FLAIR MR image.
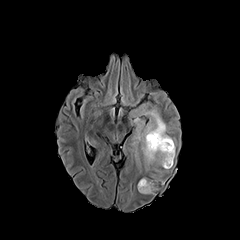
T1-weighted MRI.
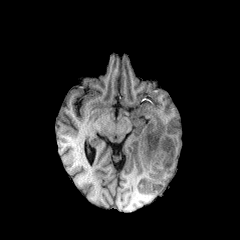
Post-contrast T1-weighted MR image.
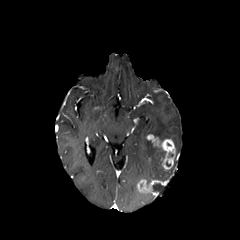
T2-weighted MR.
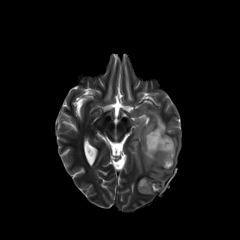
Image size 240x240; Head
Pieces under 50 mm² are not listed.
The largest peritumoral edema region lies within (x1=133, y1=108, x2=175, y2=180). The largest necrotic tumor core region is located at (x1=153, y1=183, x2=159, y2=191). 2 enhancing tumor regions are bounded by (x1=137, y1=179, x2=160, y2=194), (x1=146, y1=134, x2=175, y2=169).